FLAIR MR image.
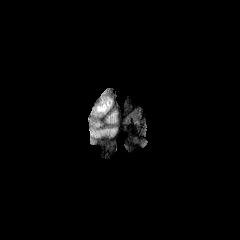
T1-weighted MR image.
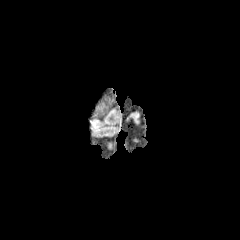
Post-contrast T1-weighted MR.
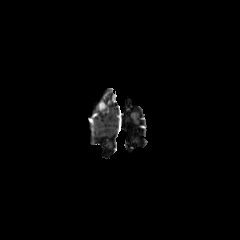
T2-weighted magnetic resonance.
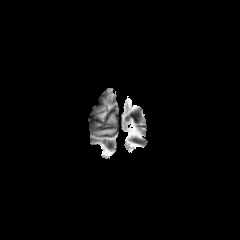
240x240 px; Axial plane
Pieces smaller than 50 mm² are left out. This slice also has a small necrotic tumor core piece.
peritumoral edema — box(94, 103, 111, 115); box(94, 128, 116, 136); box(107, 111, 116, 123)
enhancing tumor — box(98, 101, 106, 110)